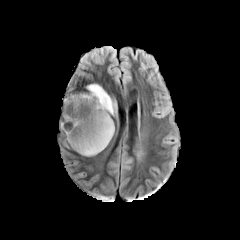
FLAIR MRI.
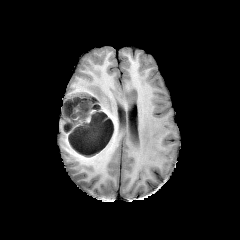
T1-weighted magnetic resonance.
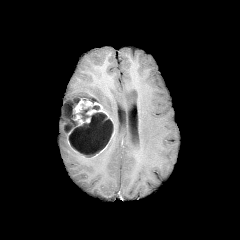
Post-contrast T1-weighted magnetic resonance.
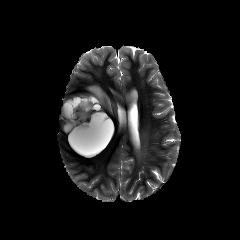
T2-weighted MRI of the same slice.
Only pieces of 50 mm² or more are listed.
Segmented structures:
* necrotic tumor core: bbox=[78, 105, 99, 121]; bbox=[64, 95, 96, 118]; bbox=[62, 112, 113, 155]
* peritumoral edema: bbox=[87, 84, 116, 115]
* enhancing tumor: bbox=[60, 93, 112, 135]